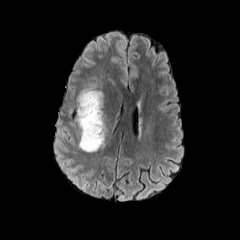
FLAIR magnetic resonance.
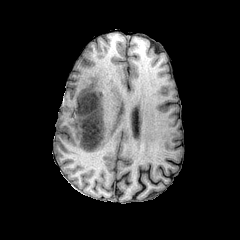
T1-weighted MR.
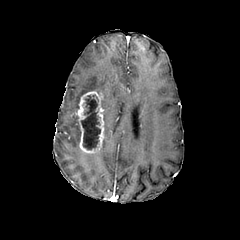
Same slice, post-contrast T1-weighted MR image.
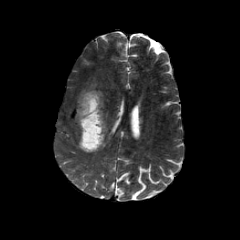
T2-weighted MR image.
Axial view | Brain | 240x240 px
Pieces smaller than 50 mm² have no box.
enhancing tumor = box=[76, 90, 104, 152]
necrotic tumor core = box=[81, 95, 101, 149]
peritumoral edema = box=[103, 115, 110, 137]; box=[77, 85, 103, 108]